Axial view. Head.
FLAIR MR image.
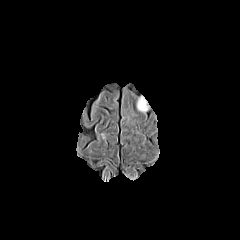
T1-weighted magnetic resonance.
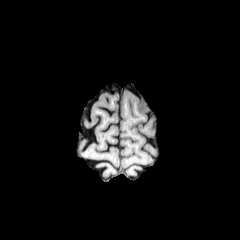
Post-contrast T1-weighted magnetic resonance.
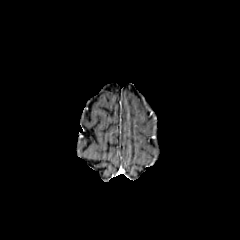
T2-weighted MR.
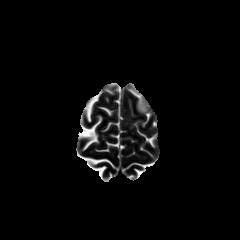
The peritumoral edema appears at {"x1": 137, "y1": 96, "x2": 149, "y2": 111}.